Axial slice
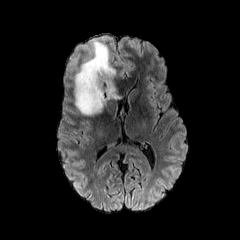
FLAIR magnetic resonance.
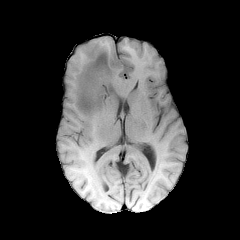
T1-weighted MR image of the same slice.
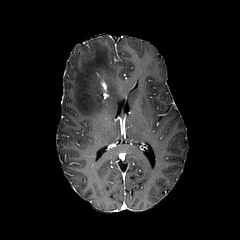
Post-contrast T1-weighted MRI of the same slice.
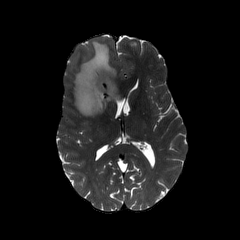
Same slice, T2-weighted magnetic resonance.
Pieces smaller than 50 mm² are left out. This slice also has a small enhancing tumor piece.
Annotated regions:
- peritumoral edema: bbox=[74, 40, 117, 115]